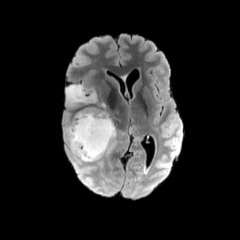
FLAIR magnetic resonance.
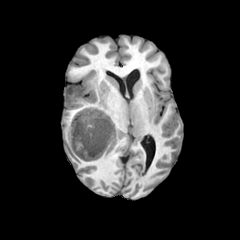
Same slice, T1-weighted MRI.
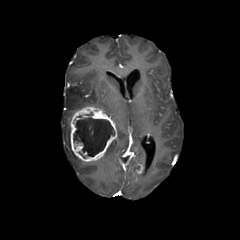
Same slice, post-contrast T1-weighted MR image.
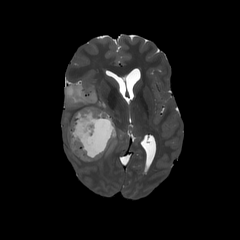
T2-weighted magnetic resonance of the same slice.
Brain, Axial slice
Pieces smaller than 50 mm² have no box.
{
  "necrotic_tumor_core": [
    "(x1=73, y1=117, x2=114, y2=156)"
  ],
  "peritumoral_edema": [
    "(x1=66, y1=85, x2=97, y2=105)"
  ],
  "enhancing_tumor": [
    "(x1=70, y1=106, x2=117, y2=161)"
  ]
}